FLAIR MR.
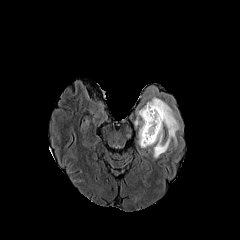
T1-weighted magnetic resonance.
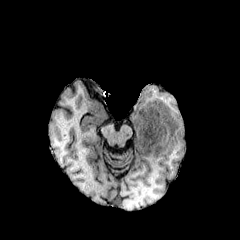
Post-contrast T1-weighted MR image.
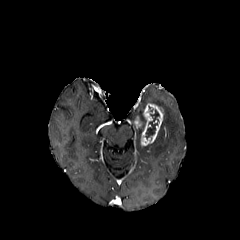
T2-weighted MRI.
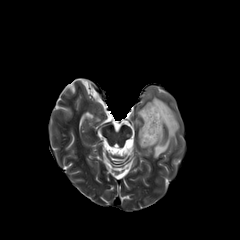
Axial slice. 240x240 px. Head.
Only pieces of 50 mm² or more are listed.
<segmentation>
  <enhancing_tumor>(left=136, top=117, right=143, bottom=127), (left=141, top=104, right=163, bottom=145)</enhancing_tumor>
  <peritumoral_edema>(left=136, top=86, right=180, bottom=158)</peritumoral_edema>
  <necrotic_tumor_core>(left=145, top=109, right=159, bottom=139)</necrotic_tumor_core>
</segmentation>